FLAIR MR.
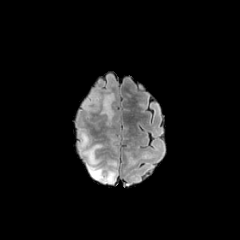
T1-weighted magnetic resonance.
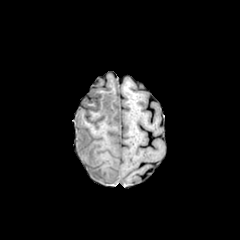
Post-contrast T1-weighted MR.
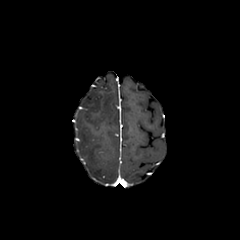
T2-weighted magnetic resonance.
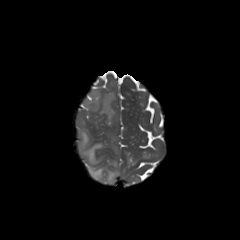
240x240. Axial view.
- peritumoral edema: (x1=101, y1=93, x2=114, y2=124), (x1=78, y1=128, x2=117, y2=183)